FLAIR MR image.
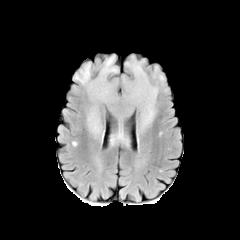
T1-weighted MR.
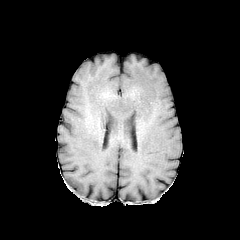
Post-contrast T1-weighted MR image.
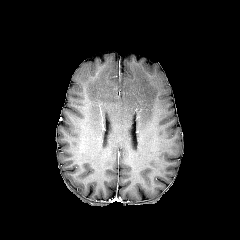
T2-weighted MRI.
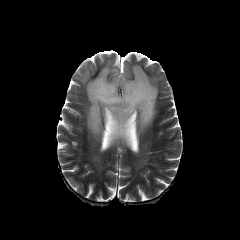
Brain.
<segmentation>
  <peritumoral_edema>75, 56, 164, 142</peritumoral_edema>
</segmentation>